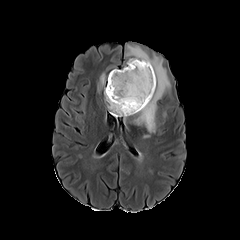
FLAIR magnetic resonance.
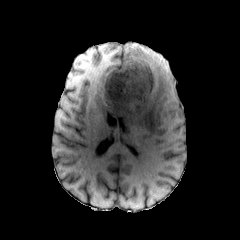
T1-weighted magnetic resonance.
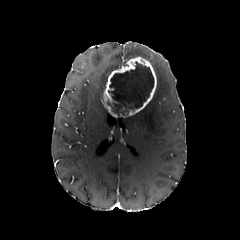
Post-contrast T1-weighted MR image.
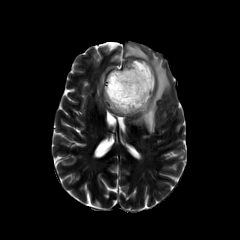
T2-weighted magnetic resonance.
Head, Image size 240x240
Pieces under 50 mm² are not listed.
peritumoral edema: bounding box (left=100, top=73, right=105, bottom=86), (left=130, top=48, right=170, bottom=133)
necrotic tumor core: bounding box (left=107, top=61, right=153, bottom=115)
enhancing tumor: bounding box (left=103, top=57, right=156, bottom=117)